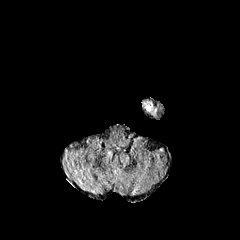
FLAIR MRI.
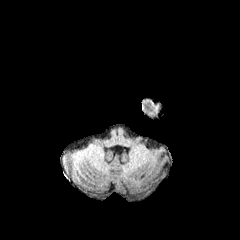
T1-weighted MRI.
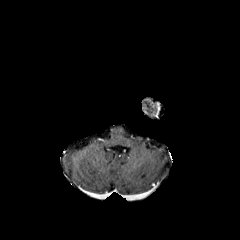
Same slice, post-contrast T1-weighted magnetic resonance.
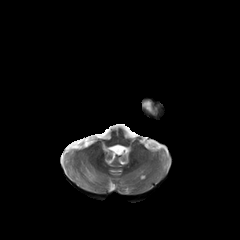
T2-weighted MR image of the same slice.
Head; Axial plane
The peritumoral edema appears at 144,101,152,111.